FLAIR MR image.
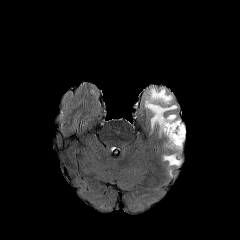
T1-weighted MRI.
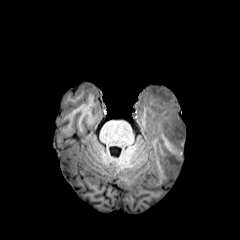
Post-contrast T1-weighted MR image.
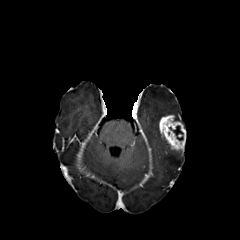
T2-weighted MR.
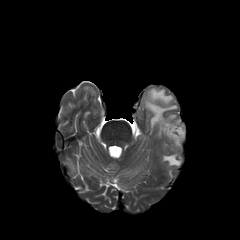
Head, Axial plane
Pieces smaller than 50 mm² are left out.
The enhancing tumor appears at [159,114,185,150]. The 2 largest peritumoral edema regions are located at [145,89,176,126], [163,155,180,165]. The necrotic tumor core lies within [173,126,183,140].